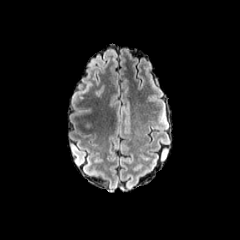
FLAIR MR image.
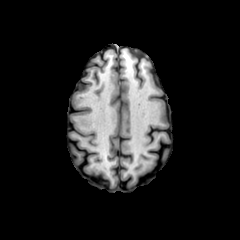
T1-weighted MR.
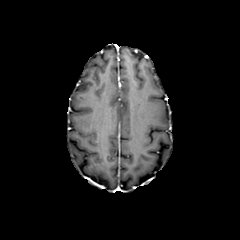
Post-contrast T1-weighted MRI.
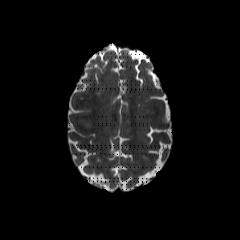
T2-weighted magnetic resonance of the same slice.
The peritumoral edema is bounded by [x1=78, y1=118, x2=93, y2=129].